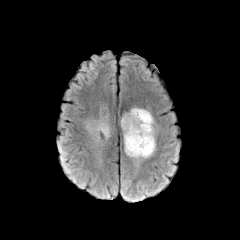
FLAIR MR image.
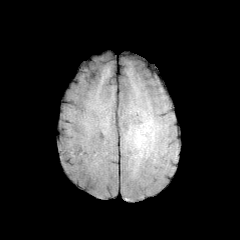
Same slice, T1-weighted magnetic resonance.
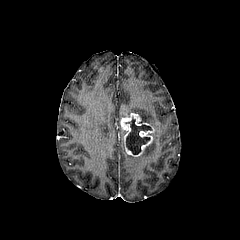
Post-contrast T1-weighted MR image.
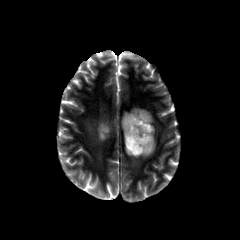
T2-weighted MR image.
Head; 240x240; Axial slice
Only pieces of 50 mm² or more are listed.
peritumoral edema: box=[97, 122, 110, 136]; box=[125, 108, 153, 125]; box=[134, 132, 155, 158]
enhancing tumor: box=[120, 113, 154, 156]
necrotic tumor core: box=[126, 118, 151, 154]